Brain, Axial slice
FLAIR magnetic resonance.
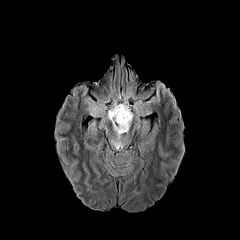
T1-weighted MR.
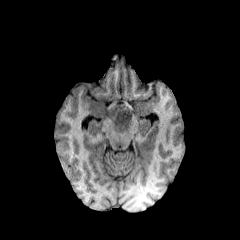
Post-contrast T1-weighted MR.
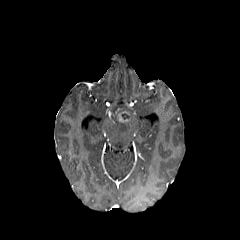
T2-weighted magnetic resonance.
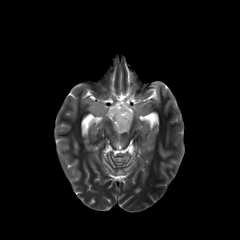
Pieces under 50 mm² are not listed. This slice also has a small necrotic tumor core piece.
2 peritumoral edema regions are bounded by bbox=[107, 99, 133, 148]; bbox=[88, 102, 105, 115]. The largest enhancing tumor region is located at bbox=[116, 111, 130, 124].